FLAIR MRI.
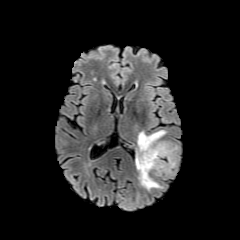
T1-weighted MR image.
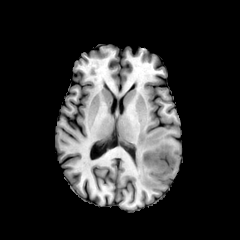
Post-contrast T1-weighted MRI.
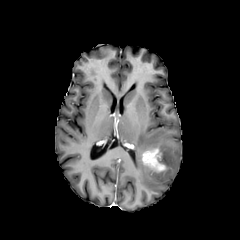
T2-weighted MR.
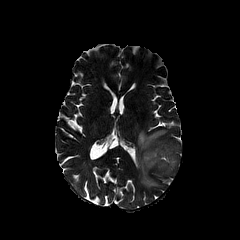
240x240 px, Axial view, Brain
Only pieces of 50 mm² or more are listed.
The largest peritumoral edema region is at 135, 130, 175, 190. The enhancing tumor lies within 142, 148, 166, 171.